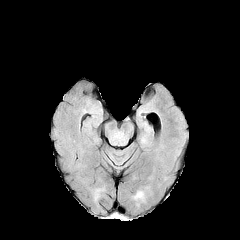
FLAIR MR.
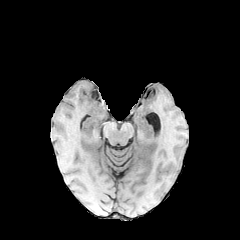
T1-weighted magnetic resonance.
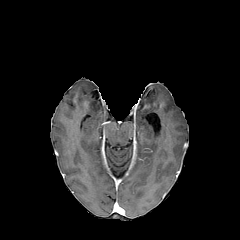
Post-contrast T1-weighted MR of the same slice.
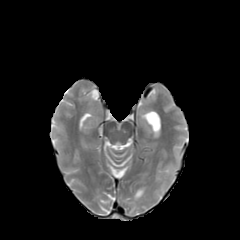
Same slice, T2-weighted MRI.
Axial view | Image size 240x240
Annotated regions:
- peritumoral edema: 134 190 144 199